Slice index 54. Image covers 240 mm x 240 mm. Head.
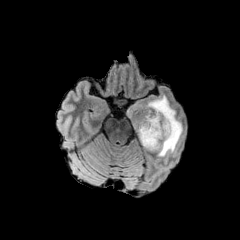
FLAIR MR.
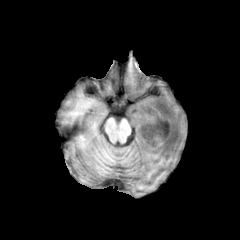
T1-weighted magnetic resonance.
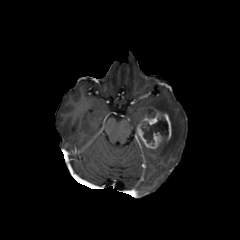
Post-contrast T1-weighted MR of the same slice.
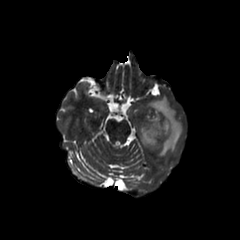
T2-weighted magnetic resonance.
The enhancing tumor appears at [136,109,171,149]. The peritumoral edema is bounded by [146,95,184,157]. The necrotic tumor core lies within [141,117,168,142].